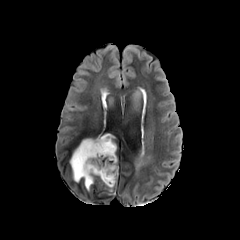
FLAIR magnetic resonance.
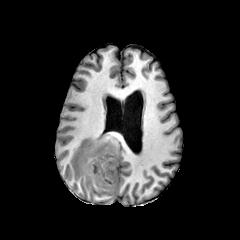
Same slice, T1-weighted magnetic resonance.
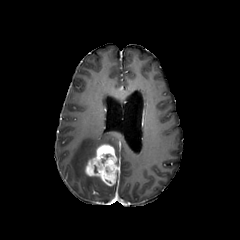
Post-contrast T1-weighted MR of the same slice.
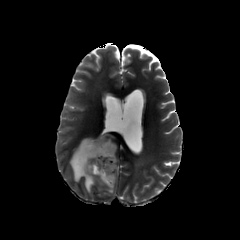
Same slice, T2-weighted MR.
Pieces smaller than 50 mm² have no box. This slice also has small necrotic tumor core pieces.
The enhancing tumor is located at l=85, t=144, r=119, b=186. The largest peritumoral edema region is at l=70, t=134, r=116, b=191.